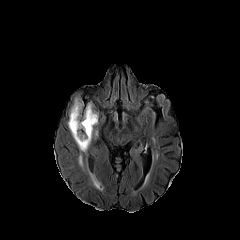
FLAIR magnetic resonance.
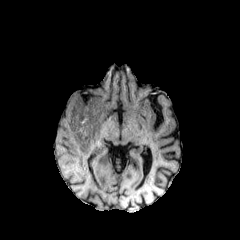
T1-weighted MR.
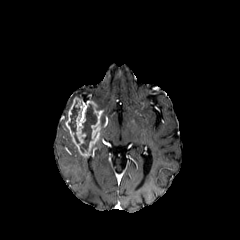
Post-contrast T1-weighted magnetic resonance.
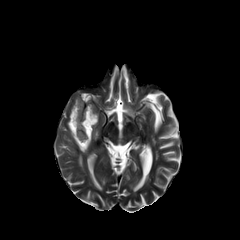
T2-weighted MR of the same slice.
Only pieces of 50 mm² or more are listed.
peritumoral edema: bounding box 78 155 83 169, 90 173 102 189
necrotic tumor core: bounding box 68 106 79 143, 80 104 96 152
enhancing tumor: bounding box 65 96 102 156